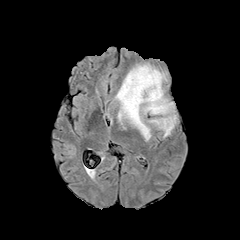
FLAIR MR image.
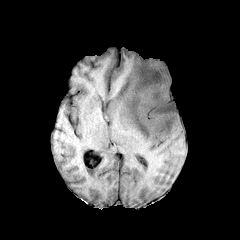
T1-weighted MRI.
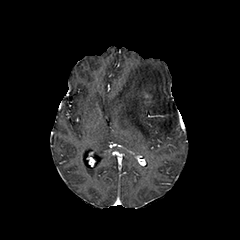
Same slice, post-contrast T1-weighted MRI.
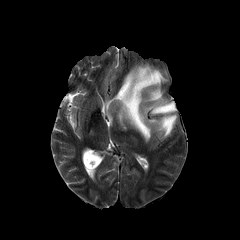
Same slice, T2-weighted magnetic resonance.
Axial slice, Brain
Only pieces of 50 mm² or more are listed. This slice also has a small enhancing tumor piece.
peritumoral edema: bounding box 115 64 177 141